Image covers 240 mm x 240 mm; Axial slice
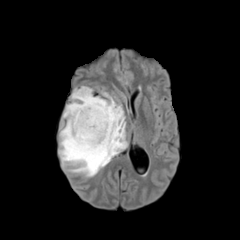
FLAIR MR.
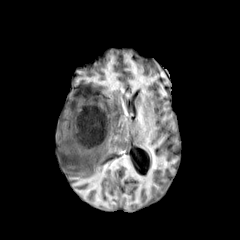
T1-weighted MR.
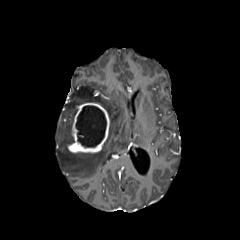
Post-contrast T1-weighted MR image of the same slice.
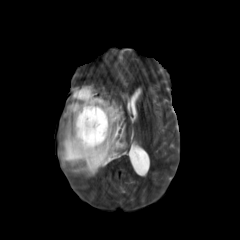
Same slice, T2-weighted MR image.
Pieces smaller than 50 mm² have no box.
necrotic tumor core — 71:107:77:124, 75:105:106:147
peritumoral edema — 58:85:127:176
enhancing tumor — 68:102:110:153